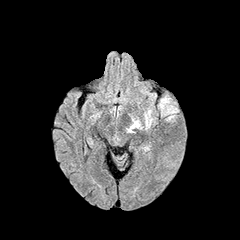
FLAIR magnetic resonance.
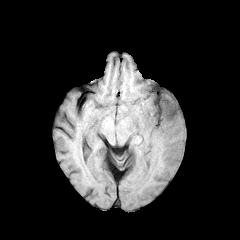
T1-weighted MR image.
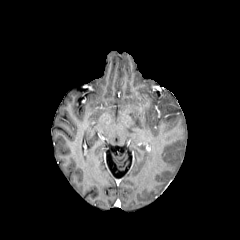
Post-contrast T1-weighted magnetic resonance.
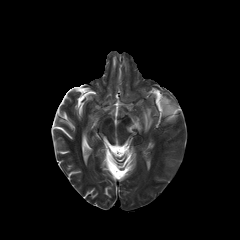
T2-weighted magnetic resonance of the same slice.
Axial view | Brain
Segmented structures:
- peritumoral edema: [159, 97, 177, 120], [145, 109, 152, 129], [127, 120, 140, 132]